FLAIR magnetic resonance.
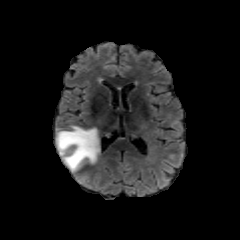
T1-weighted magnetic resonance.
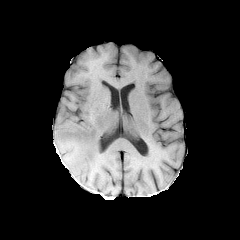
Post-contrast T1-weighted MR image.
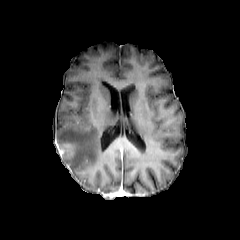
T2-weighted MR image.
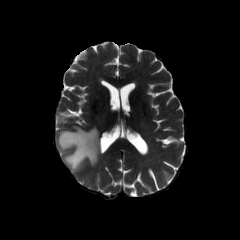
Head. Axial slice.
The peritumoral edema is bounded by box(56, 126, 100, 181). The enhancing tumor is bounded by box(60, 143, 72, 156).